FLAIR MRI.
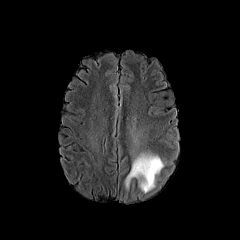
T1-weighted magnetic resonance.
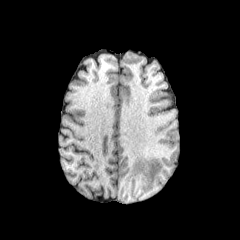
Post-contrast T1-weighted magnetic resonance.
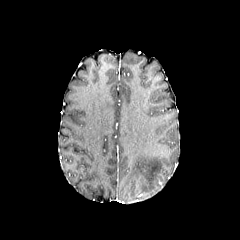
T2-weighted magnetic resonance.
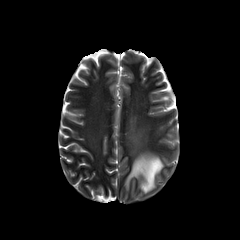
Brain.
peritumoral_edema:
  - rect(125, 153, 164, 192)